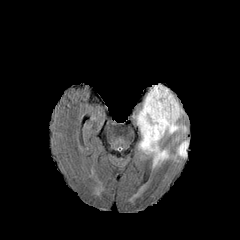
FLAIR magnetic resonance.
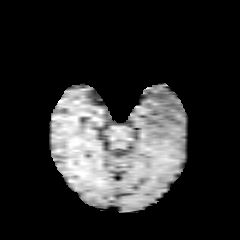
T1-weighted MR.
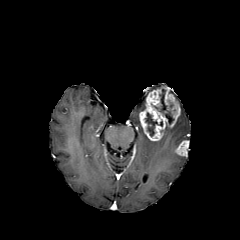
Post-contrast T1-weighted MRI.
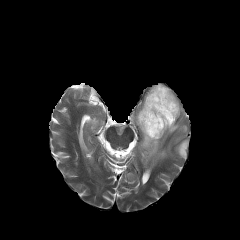
T2-weighted MR.
Brain, 240x240 px, Axial slice
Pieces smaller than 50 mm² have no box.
enhancing tumor at bbox(139, 86, 180, 140); bbox(176, 140, 188, 156)
necrotic tumor core at bbox(159, 95, 171, 124); bbox(145, 113, 157, 136)
peritumoral edema at bbox(133, 101, 169, 166); bbox(161, 122, 186, 139)